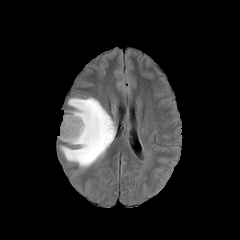
FLAIR MR.
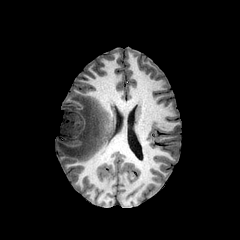
T1-weighted MR.
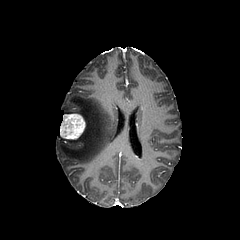
Post-contrast T1-weighted magnetic resonance.
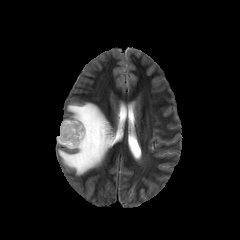
Same slice, T2-weighted MR.
Brain.
peritumoral edema at [59,97,115,170]
enhancing tumor at [60,113,85,139]